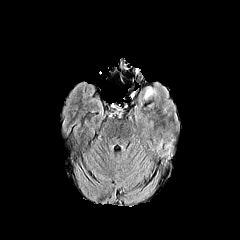
FLAIR MRI.
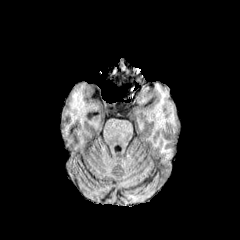
Same slice, T1-weighted MR.
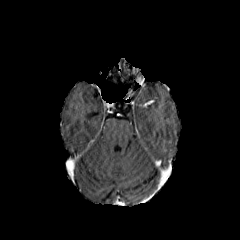
Post-contrast T1-weighted MRI.
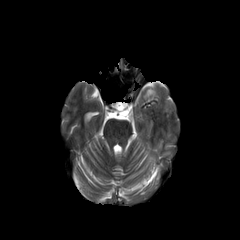
T2-weighted MRI.
Axial slice
peritumoral edema: 143 85 156 99